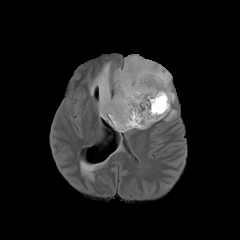
FLAIR MRI.
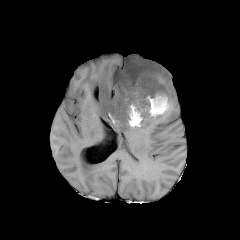
T1-weighted magnetic resonance of the same slice.
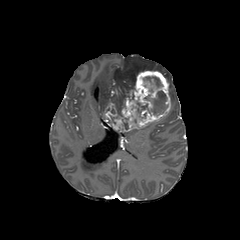
Same slice, post-contrast T1-weighted magnetic resonance.
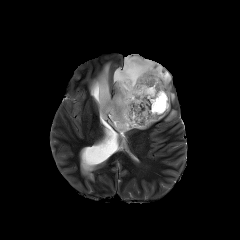
T2-weighted MR.
Axial plane
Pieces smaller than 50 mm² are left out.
necrotic tumor core: bounding box <bbox>145, 77, 161, 86</bbox>, <bbox>136, 91, 167, 114</bbox>
peritumoral edema: bounding box <bbox>89, 56, 175, 117</bbox>, <bbox>165, 109, 176, 120</bbox>
enhancing tumor: bounding box <bbox>102, 70, 170, 132</bbox>